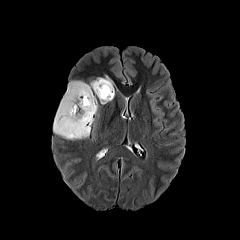
FLAIR magnetic resonance.
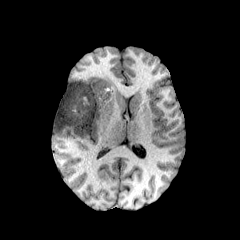
Same slice, T1-weighted MR.
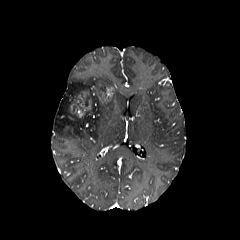
Post-contrast T1-weighted MR image.
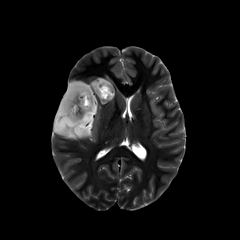
T2-weighted MR image of the same slice.
Axial plane.
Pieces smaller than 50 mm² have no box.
The largest peritumoral edema region is bounded by left=53, top=76, right=113, bottom=139. The 2 largest enhancing tumor regions are located at left=98, top=86, right=113, bottom=102; left=70, top=91, right=91, bottom=117. The 3 largest necrotic tumor core regions are bounded by left=70, top=93, right=95, bottom=133; left=72, top=98, right=83, bottom=112; left=95, top=84, right=107, bottom=97.